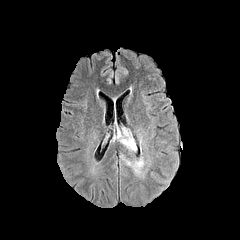
FLAIR MR image.
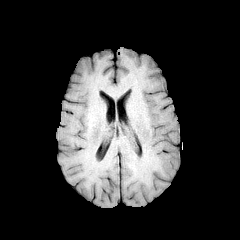
Same slice, T1-weighted magnetic resonance.
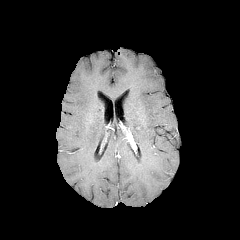
Post-contrast T1-weighted MR.
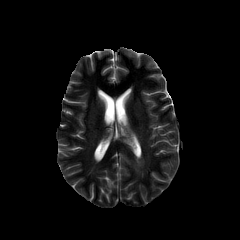
T2-weighted MR.
Brain
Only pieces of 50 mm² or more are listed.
Findings:
- peritumoral edema: bbox=[114, 129, 128, 148]; bbox=[133, 158, 143, 172]